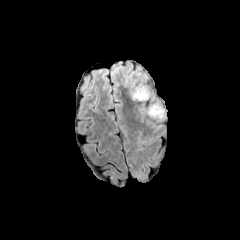
FLAIR MR image.
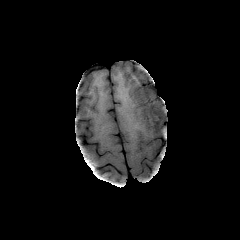
Same slice, T1-weighted MRI.
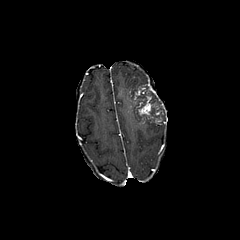
Post-contrast T1-weighted MR.
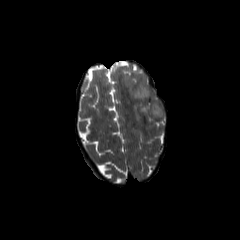
T2-weighted MR.
240x240 px, Head
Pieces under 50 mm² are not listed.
{
  "necrotic_tumor_core": [
    "[x1=138, y1=88, x2=152, y2=104]"
  ],
  "enhancing_tumor": [
    "[x1=136, y1=99, x2=162, y2=124]",
    "[x1=133, y1=84, x2=152, y2=101]"
  ],
  "peritumoral_edema": [
    "[x1=156, y1=100, x2=164, y2=118]",
    "[x1=122, y1=71, x2=147, y2=99]"
  ]
}